FLAIR magnetic resonance.
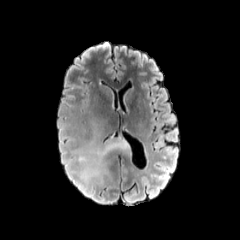
T1-weighted magnetic resonance.
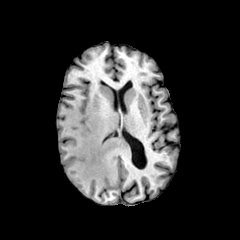
Post-contrast T1-weighted magnetic resonance.
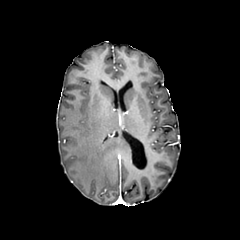
T2-weighted MR.
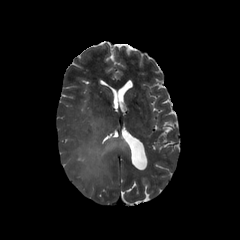
Brain | Image size 240x240
peritumoral edema: box(74, 130, 129, 184)